FLAIR MR image.
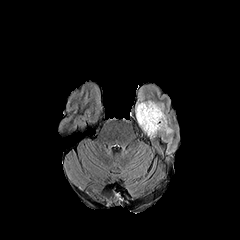
T1-weighted MR image.
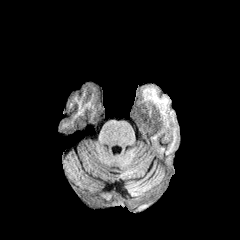
Post-contrast T1-weighted magnetic resonance.
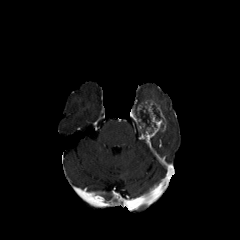
T2-weighted MRI.
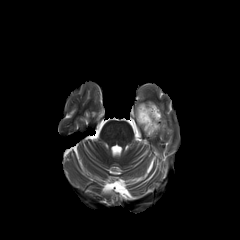
Axial view. Brain.
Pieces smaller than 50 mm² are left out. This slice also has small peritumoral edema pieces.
Findings:
* enhancing tumor: <bbox>137, 101, 166, 136</bbox>
* necrotic tumor core: <bbox>137, 105, 151, 130</bbox>, <bbox>152, 105, 164, 121</bbox>